FLAIR MR.
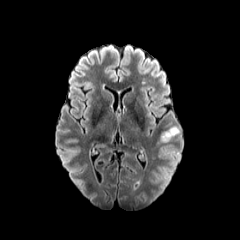
T1-weighted MR image.
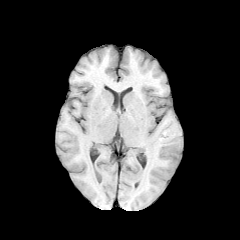
Post-contrast T1-weighted MR image.
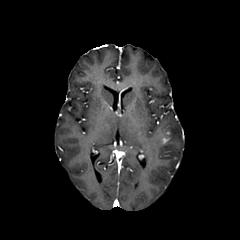
T2-weighted MR.
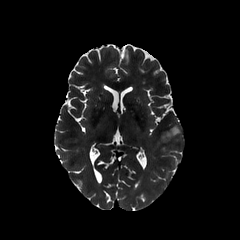
<segmentation>
  <enhancing_tumor>left=162, top=132, right=169, bottom=142</enhancing_tumor>
  <peritumoral_edema>left=160, top=126, right=179, bottom=142</peritumoral_edema>
</segmentation>